FLAIR magnetic resonance.
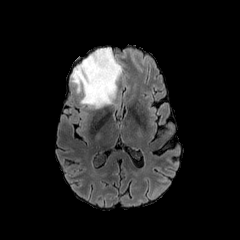
T1-weighted MRI.
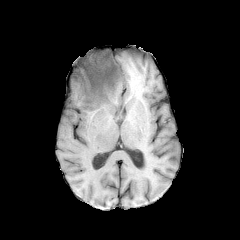
Post-contrast T1-weighted MR image.
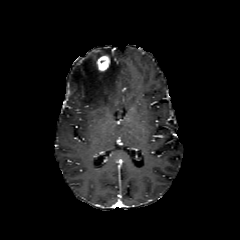
T2-weighted MR image.
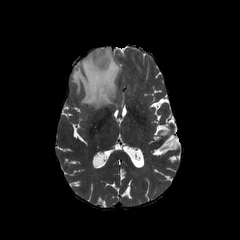
240x240; Head
Findings:
- peritumoral edema: (70,47,121,108)
- enhancing tumor: (96,55,110,71)